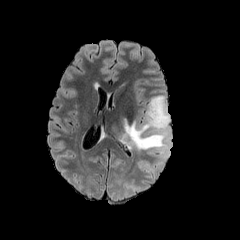
FLAIR MR.
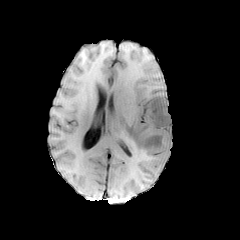
T1-weighted MR image of the same slice.
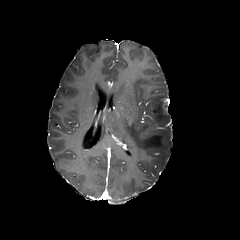
Post-contrast T1-weighted MR image of the same slice.
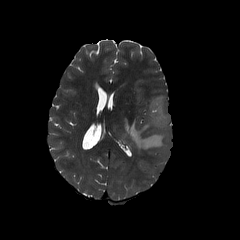
T2-weighted MR image.
Brain
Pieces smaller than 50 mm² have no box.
<segmentation>
  <enhancing_tumor>left=162, top=99, right=169, bottom=110</enhancing_tumor>
  <peritumoral_edema>left=138, top=161, right=154, bottom=172; left=120, top=95, right=171, bottom=167</peritumoral_edema>
</segmentation>